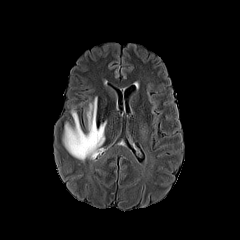
FLAIR magnetic resonance.
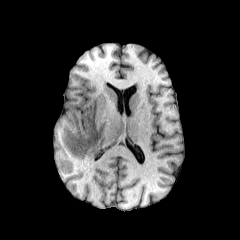
Same slice, T1-weighted MR image.
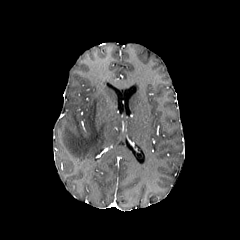
Same slice, post-contrast T1-weighted MRI.
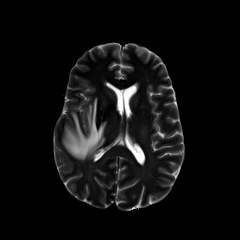
Same slice, T2-weighted MRI.
Head
peritumoral edema = rect(62, 97, 106, 160)